240x240 px; Image width 240 mm, 1.00 mm slice spacing
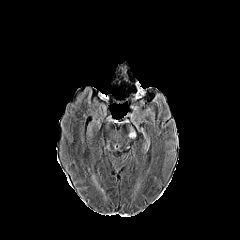
FLAIR MR image.
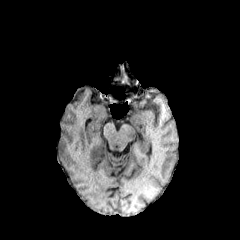
Same slice, T1-weighted MRI.
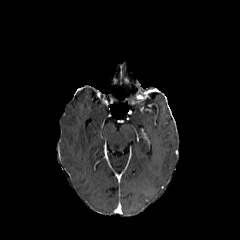
Post-contrast T1-weighted magnetic resonance.
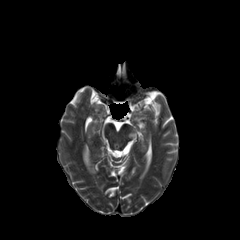
T2-weighted MRI of the same slice.
Findings:
* peritumoral edema: <bbox>128, 129, 135, 138</bbox>